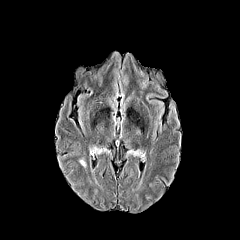
FLAIR MR image.
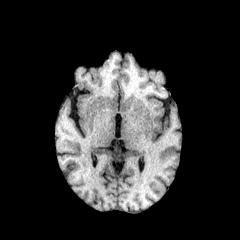
T1-weighted MR.
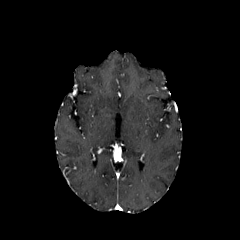
Post-contrast T1-weighted magnetic resonance of the same slice.
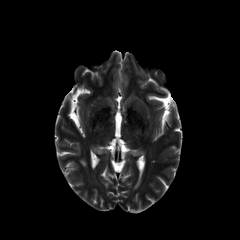
Same slice, T2-weighted MR image.
Axial view. Image size 240x240.
<segmentation>
  <peritumoral_edema>region(123, 74, 128, 86); region(79, 158, 86, 168)</peritumoral_edema>
</segmentation>